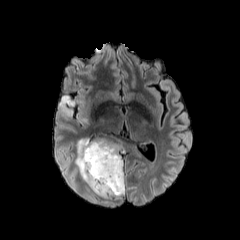
FLAIR MR.
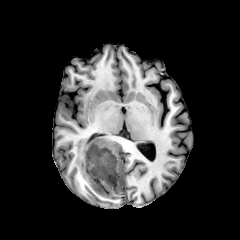
T1-weighted MR image of the same slice.
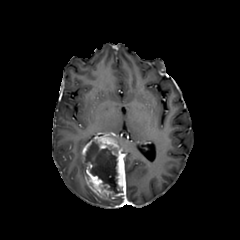
Post-contrast T1-weighted MR image.
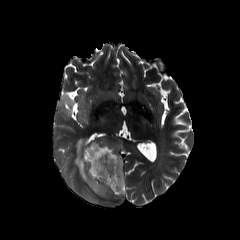
Same slice, T2-weighted magnetic resonance.
Axial slice.
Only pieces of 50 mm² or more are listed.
peritumoral_edema:
  - 88, 188, 98, 202
  - 59, 94, 75, 115
  - 75, 139, 89, 182
necrotic_tumor_core:
  - 85, 142, 122, 193
enhancing_tumor:
  - 82, 134, 125, 198